Head, 240x240 px, Slice 49 of 155
FLAIR MR image.
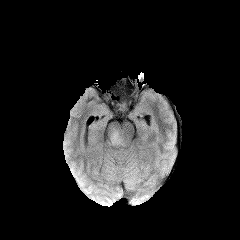
T1-weighted MR.
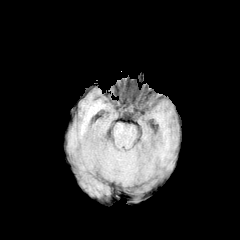
Post-contrast T1-weighted magnetic resonance.
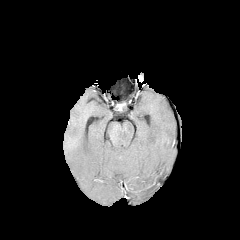
T2-weighted magnetic resonance.
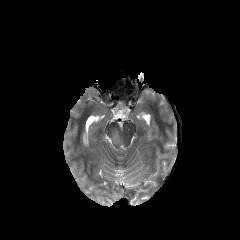
The peritumoral edema is at 111,132,119,143.